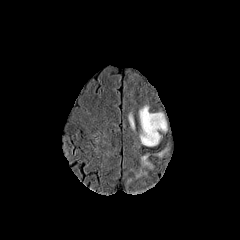
FLAIR MR image.
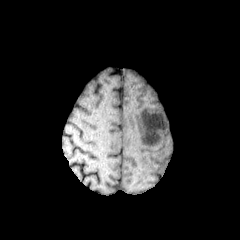
Same slice, T1-weighted MRI.
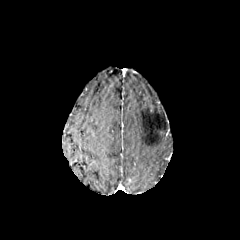
Post-contrast T1-weighted MRI.
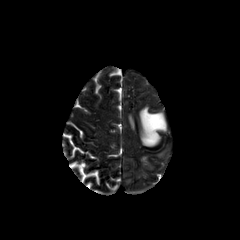
T2-weighted MR.
Head | Axial view
peritumoral edema: (left=129, top=112, right=134, bottom=129), (left=139, top=106, right=167, bottom=146), (left=128, top=153, right=153, bottom=182), (left=153, top=147, right=168, bottom=157)